Brain
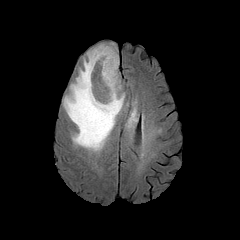
FLAIR MR.
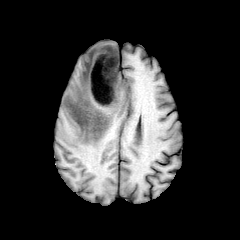
T1-weighted MR.
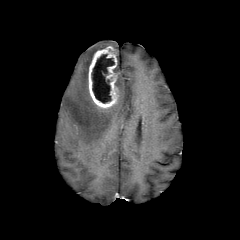
Post-contrast T1-weighted magnetic resonance.
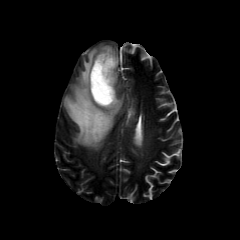
T2-weighted magnetic resonance.
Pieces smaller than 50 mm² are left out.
Segmented structures:
* peritumoral edema: 127:106:136:126, 63:44:125:151, 116:74:121:91
* enhancing tumor: 88:46:118:108
* necrotic tumor core: 91:54:114:103